240x240 px. Head. Image width 240 mm. Slice index 94. Axial slice.
FLAIR MRI.
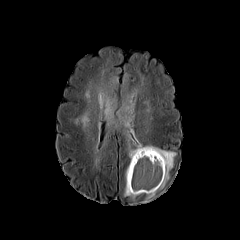
T1-weighted MR.
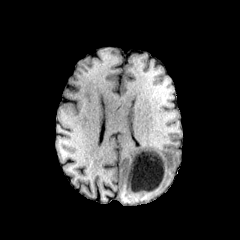
Post-contrast T1-weighted MRI.
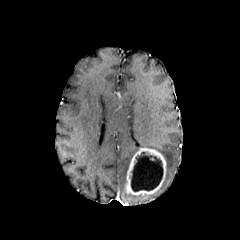
T2-weighted MR image.
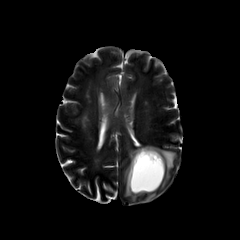
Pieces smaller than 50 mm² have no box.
enhancing tumor: (x1=126, y1=147, x2=166, y2=194)
peritumoral edema: (x1=106, y1=97, x2=115, y2=134), (x1=117, y1=96, x2=176, y2=189), (x1=124, y1=187, x2=138, y2=199)
necrotic tumor core: (x1=131, y1=152, x2=163, y2=191)